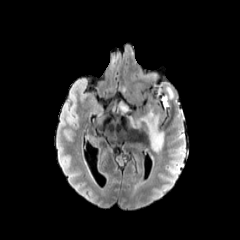
FLAIR MR.
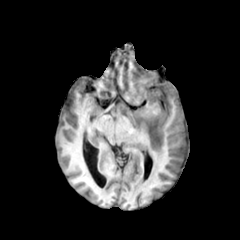
T1-weighted MRI of the same slice.
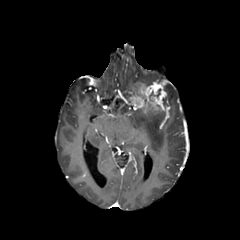
Post-contrast T1-weighted MR image of the same slice.
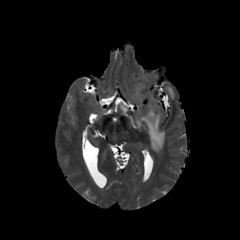
T2-weighted MR.
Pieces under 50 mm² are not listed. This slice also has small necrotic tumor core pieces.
{"enhancing_tumor": ["<box>131,82,169,111</box>"], "peritumoral_edema": ["<box>132,82,147,95</box>", "<box>164,83,174,100</box>", "<box>129,102,165,152</box>"]}